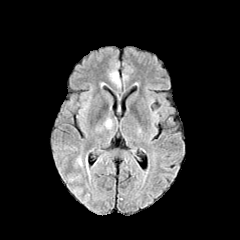
FLAIR magnetic resonance.
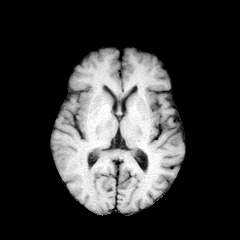
T1-weighted MRI.
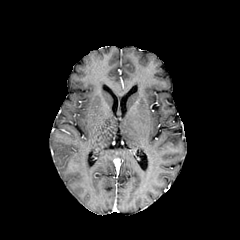
Post-contrast T1-weighted MR image of the same slice.
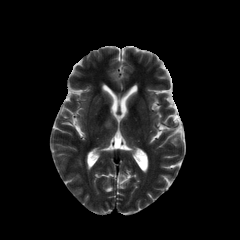
T2-weighted MR.
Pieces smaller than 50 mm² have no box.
peritumoral edema at [x1=109, y1=72, x2=120, y2=83], [x1=75, y1=156, x2=82, y2=166]